Image width 240 mm, 1.00 mm slice spacing. Axial slice.
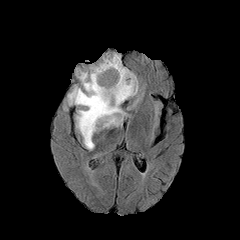
FLAIR MRI.
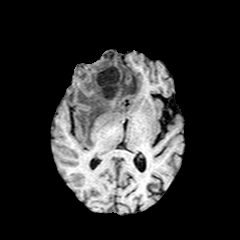
T1-weighted MR of the same slice.
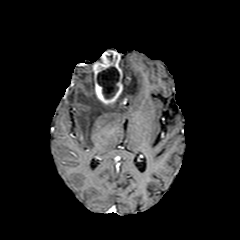
Post-contrast T1-weighted MR.
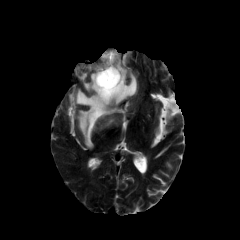
T2-weighted MR.
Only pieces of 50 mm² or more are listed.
The enhancing tumor is located at bbox=[92, 50, 123, 104]. The largest necrotic tumor core region is at bbox=[97, 66, 119, 98]. The largest peritumoral edema region is bounded by bbox=[68, 60, 138, 149].